Axial view | Head
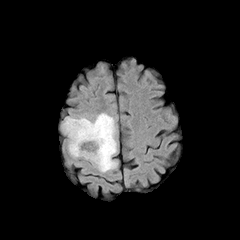
FLAIR magnetic resonance.
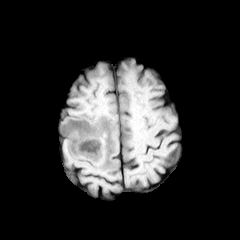
T1-weighted MR of the same slice.
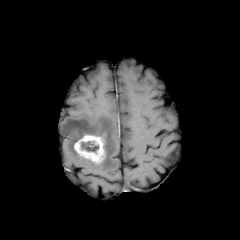
Post-contrast T1-weighted MR.
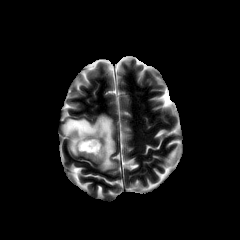
Same slice, T2-weighted MR.
The peritumoral edema is bounded by (left=61, top=113, right=117, bottom=172). The necrotic tumor core is located at (left=80, top=139, right=98, bottom=151). The enhancing tumor is bounded by (left=74, top=134, right=105, bottom=163).